Slice 76/155, Axial slice, Head
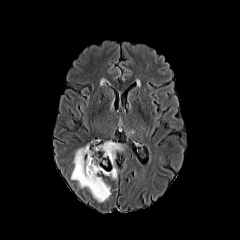
FLAIR MRI.
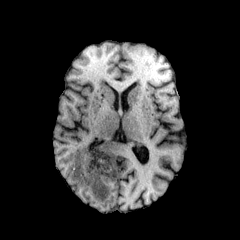
T1-weighted MRI.
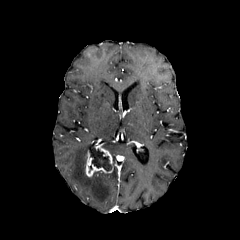
Post-contrast T1-weighted magnetic resonance.
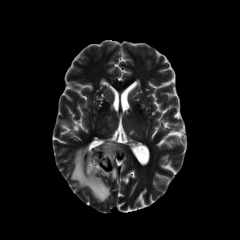
Same slice, T2-weighted magnetic resonance.
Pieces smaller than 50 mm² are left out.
The 2 largest peritumoral edema regions appear at [71,143,111,202], [100,140,123,181]. The enhancing tumor appears at [85,146,113,176]. The largest necrotic tumor core region appears at [90,148,111,171].